Head, Image width 240 mm, 1.00 mm slice spacing
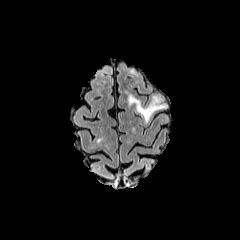
FLAIR MR.
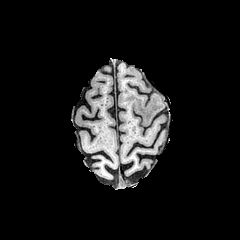
T1-weighted MRI.
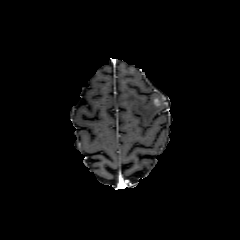
Post-contrast T1-weighted MR image.
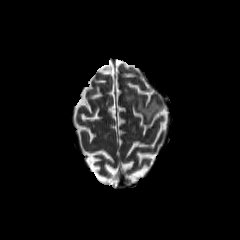
T2-weighted MR image.
The enhancing tumor lies within (153, 98, 161, 106). The peritumoral edema is bounded by (128, 94, 166, 122).